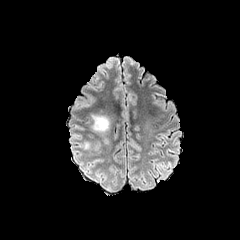
FLAIR MR.
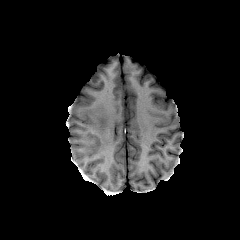
T1-weighted magnetic resonance of the same slice.
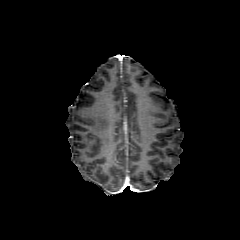
Same slice, post-contrast T1-weighted MRI.
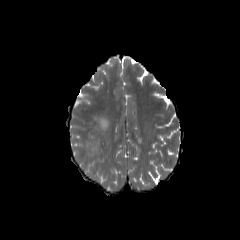
T2-weighted magnetic resonance.
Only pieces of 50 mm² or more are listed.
Annotated regions:
* peritumoral edema: x1=92, y1=114, x2=109, y2=132